FLAIR MRI.
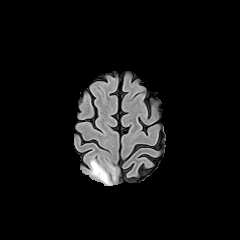
T1-weighted magnetic resonance.
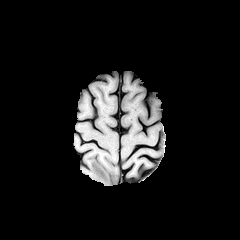
Post-contrast T1-weighted MRI.
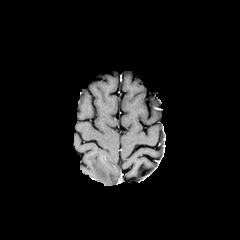
T2-weighted MRI.
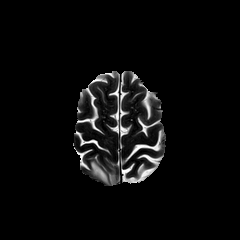
Axial plane.
2 peritumoral edema regions appear at (90,160,110,185), (109,165,115,182).